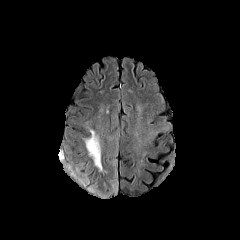
FLAIR MRI.
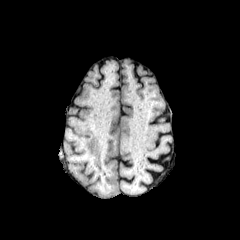
T1-weighted MR.
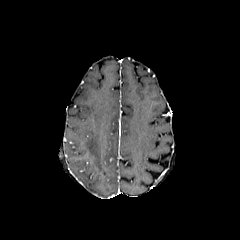
Post-contrast T1-weighted MR of the same slice.
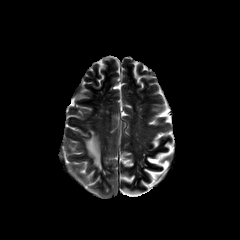
Same slice, T2-weighted MR.
Head, Axial slice
4 peritumoral edema regions appear at (113,180,117,193), (75,169,88,182), (85,129,101,170), (91,186,109,197).